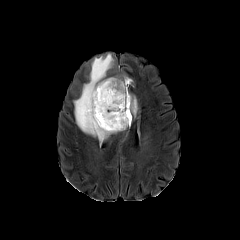
FLAIR magnetic resonance.
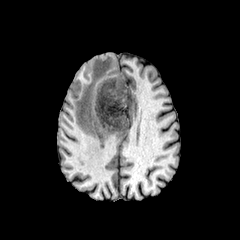
T1-weighted MR image.
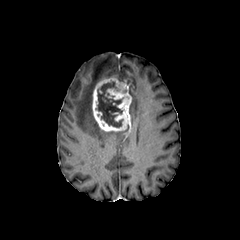
Post-contrast T1-weighted magnetic resonance of the same slice.
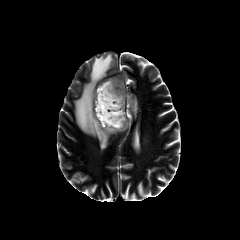
Same slice, T2-weighted MRI.
Head.
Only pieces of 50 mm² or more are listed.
{"enhancing_tumor": ["[92, 77, 131, 131]"], "peritumoral_edema": ["[129, 96, 137, 116]", "[74, 53, 116, 143]"], "necrotic_tumor_core": ["[96, 82, 122, 127]"]}